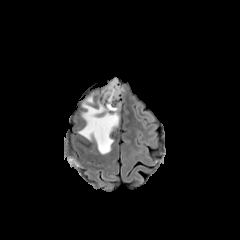
FLAIR magnetic resonance.
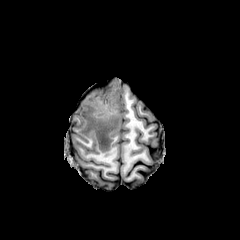
T1-weighted magnetic resonance.
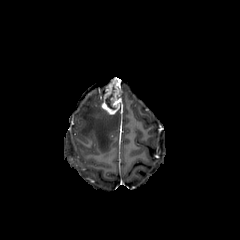
Same slice, post-contrast T1-weighted MR.
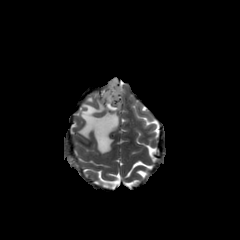
T2-weighted MR of the same slice.
Head
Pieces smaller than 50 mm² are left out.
Segmented structures:
- enhancing tumor: left=101, top=78, right=122, bottom=114
- peritumoral edema: left=79, top=92, right=119, bottom=154
- necrotic tumor core: left=105, top=93, right=115, bottom=109